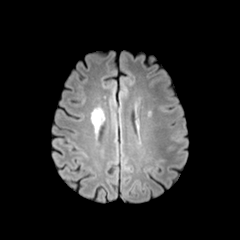
FLAIR MR.
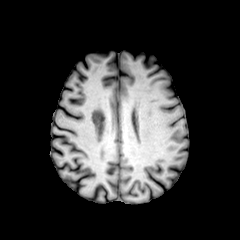
T1-weighted MRI of the same slice.
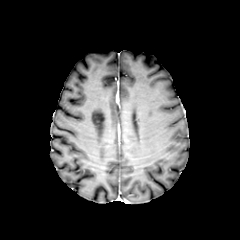
Post-contrast T1-weighted MR.
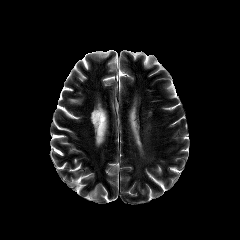
T2-weighted magnetic resonance.
Brain; Image size 240x240
The peritumoral edema is bounded by <box>91,108,104,134</box>.